FLAIR magnetic resonance.
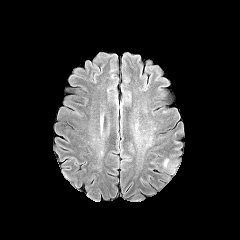
T1-weighted magnetic resonance.
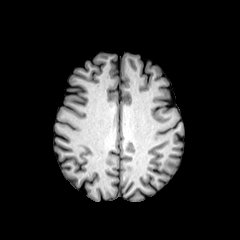
Post-contrast T1-weighted MRI.
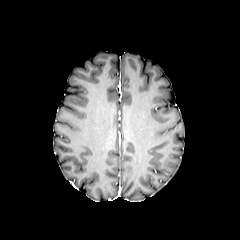
T2-weighted MR.
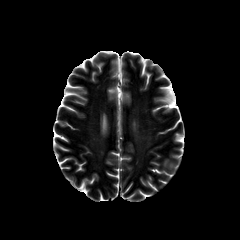
Head
peritumoral_edema:
  - (x1=163, y1=158, x2=176, y2=172)